Head, Slice 72/155, Axial slice
FLAIR MRI.
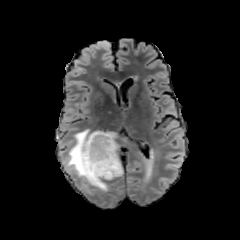
T1-weighted MRI.
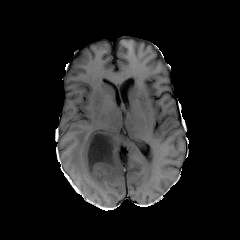
Post-contrast T1-weighted magnetic resonance.
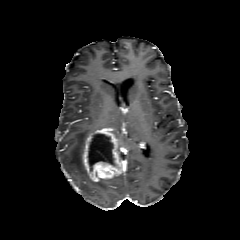
T2-weighted MRI.
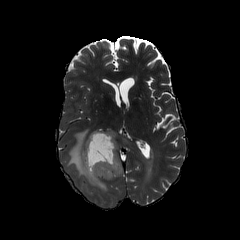
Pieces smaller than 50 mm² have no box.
Findings:
• enhancing tumor: box=[83, 127, 124, 181]
• peritumoral edema: box=[63, 129, 111, 190]
• necrotic tumor core: box=[88, 134, 114, 171]